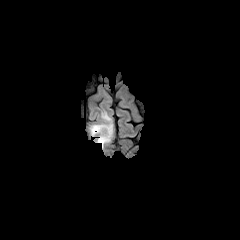
FLAIR magnetic resonance.
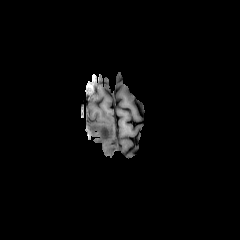
T1-weighted MR image.
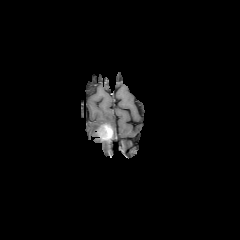
Post-contrast T1-weighted MR image of the same slice.
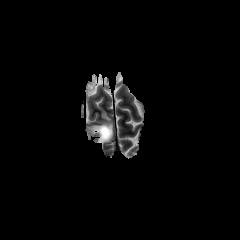
T2-weighted MRI.
Axial slice
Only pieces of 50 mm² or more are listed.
Findings:
- enhancing tumor: region(96, 123, 113, 142)
- peritumoral edema: region(88, 110, 114, 136)